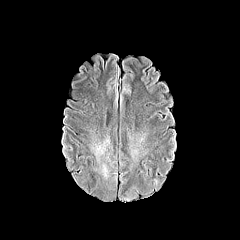
FLAIR MRI.
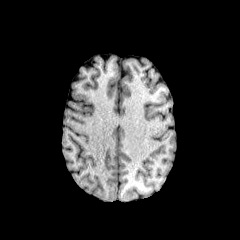
T1-weighted MR of the same slice.
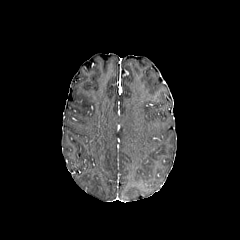
Same slice, post-contrast T1-weighted MR.
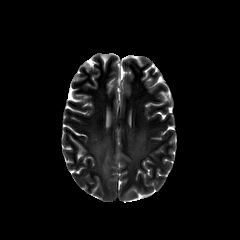
T2-weighted MR.
240x240 px.
peritumoral edema: box=[87, 138, 111, 178]; box=[128, 131, 149, 170]